FLAIR MR.
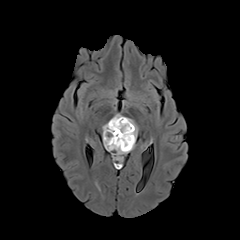
T1-weighted MR image.
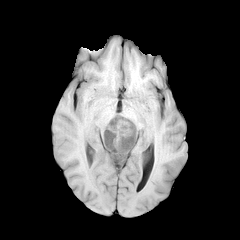
Post-contrast T1-weighted magnetic resonance.
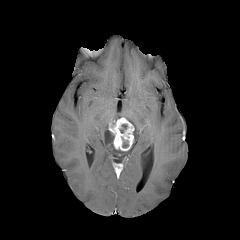
T2-weighted magnetic resonance.
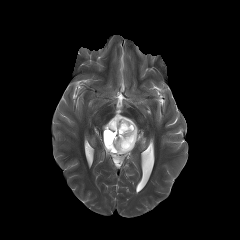
Brain.
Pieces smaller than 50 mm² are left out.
necrotic tumor core = rect(119, 124, 127, 133); rect(105, 129, 115, 149)
enhancing tumor = rect(108, 117, 134, 151)
peritumoral edema = rect(102, 117, 137, 167)